Head, Slice index 59, 240x240 px
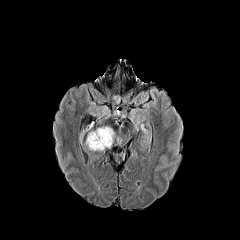
FLAIR magnetic resonance.
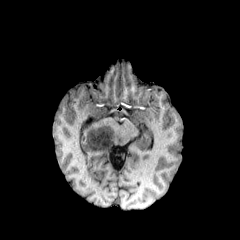
T1-weighted MR image.
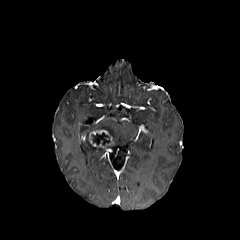
Post-contrast T1-weighted MR of the same slice.
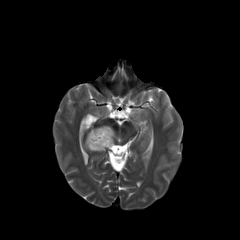
T2-weighted MR image.
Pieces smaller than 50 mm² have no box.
peritumoral edema at [97,126,114,137], [86,138,103,150]
necrotic tumor core at [91,132,109,145]
enhancing tumor at [88,129,112,148]